Slice 95 of 155, Image size 240x240
FLAIR MR.
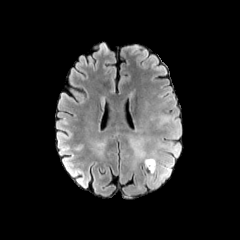
T1-weighted MR.
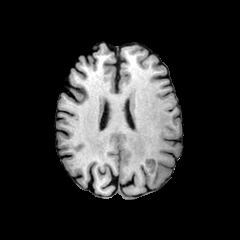
Post-contrast T1-weighted MRI.
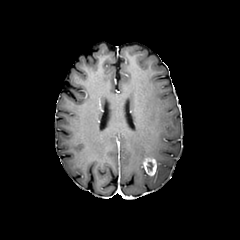
T2-weighted MR.
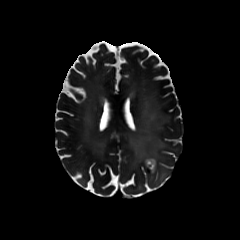
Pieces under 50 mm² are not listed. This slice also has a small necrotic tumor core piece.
Findings:
• peritumoral edema: (x1=129, y1=136, x2=158, y2=169), (x1=157, y1=170, x2=168, y2=183)
• enhancing tumor: (x1=143, y1=158, x2=156, y2=175)